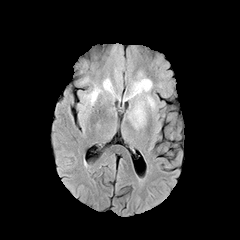
FLAIR magnetic resonance.
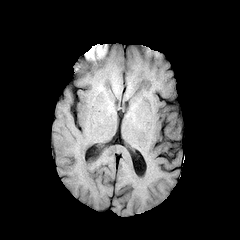
T1-weighted magnetic resonance.
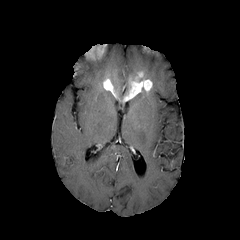
Post-contrast T1-weighted magnetic resonance of the same slice.
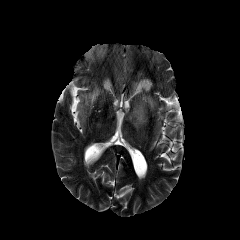
T2-weighted MRI.
Axial slice, Brain
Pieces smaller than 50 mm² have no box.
Annotated regions:
* enhancing tumor: box(103, 78, 118, 98); box(122, 72, 152, 101)
* peritumoral edema: box(84, 86, 102, 105); box(129, 90, 155, 127)